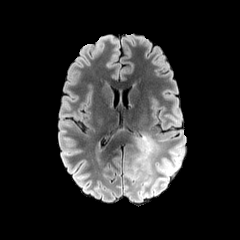
FLAIR MR image.
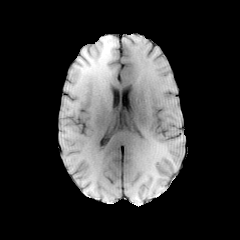
Same slice, T1-weighted magnetic resonance.
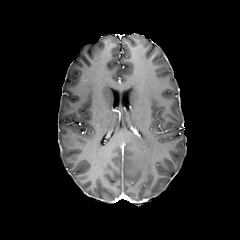
Post-contrast T1-weighted MRI of the same slice.
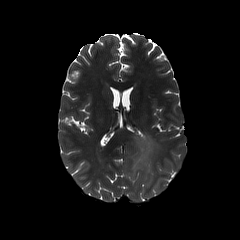
T2-weighted MR image of the same slice.
Head
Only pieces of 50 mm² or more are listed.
The 3 largest peritumoral edema regions are bounded by 153 178 166 190, 124 135 155 191, 158 159 173 174.